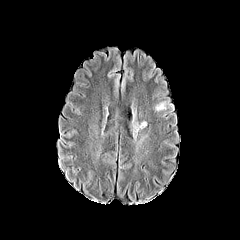
FLAIR MR image.
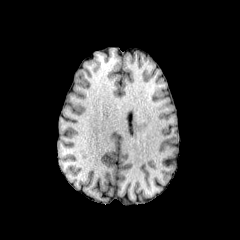
T1-weighted magnetic resonance.
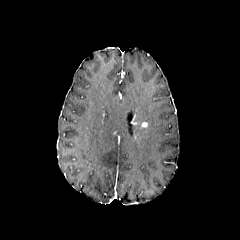
Post-contrast T1-weighted MR.
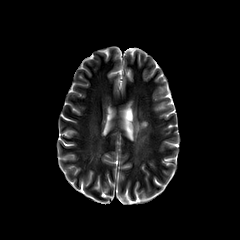
Same slice, T2-weighted MRI.
Image size 240x240. Head.
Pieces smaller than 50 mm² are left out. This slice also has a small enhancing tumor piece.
<segmentation>
  <peritumoral_edema><box>132,123,143,136</box>, <box>155,103,165,110</box></peritumoral_edema>
</segmentation>